240x240
FLAIR MR.
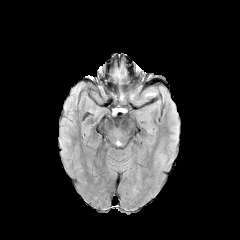
T1-weighted MRI.
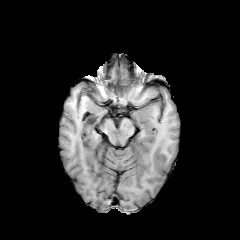
Post-contrast T1-weighted MR.
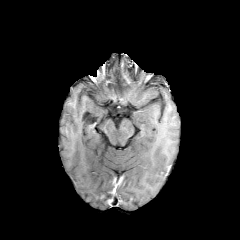
T2-weighted magnetic resonance.
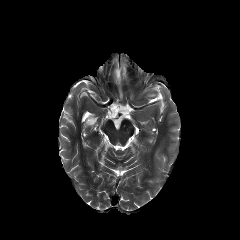
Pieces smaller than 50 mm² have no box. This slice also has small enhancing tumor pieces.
The largest peritumoral edema region lies within x1=114 y1=67 x2=125 y2=82.